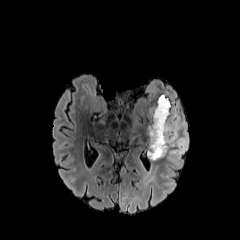
FLAIR MR.
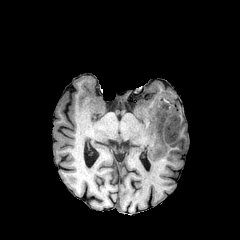
T1-weighted MR of the same slice.
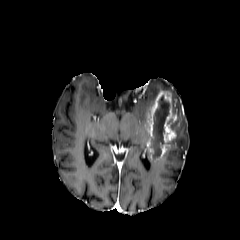
Same slice, post-contrast T1-weighted MRI.
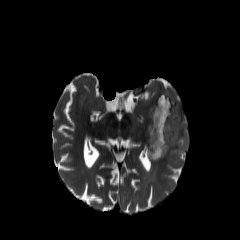
Same slice, T2-weighted MR image.
Axial view.
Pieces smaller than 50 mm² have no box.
The largest necrotic tumor core region appears at left=151, top=95, right=169, bottom=158. The largest peritumoral edema region is at left=149, top=80, right=189, bottom=169. The enhancing tumor is bounded by left=145, top=90, right=180, bottom=159.